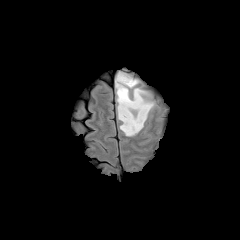
FLAIR magnetic resonance.
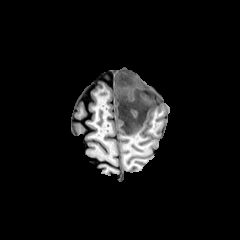
T1-weighted MR.
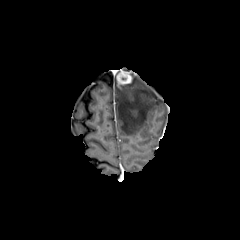
Post-contrast T1-weighted MRI.
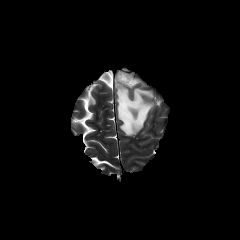
T2-weighted MRI.
Axial plane
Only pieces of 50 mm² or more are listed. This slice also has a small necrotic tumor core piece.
The peritumoral edema is located at l=115, t=76, r=154, b=136. The enhancing tumor is bounded by l=117, t=71, r=131, b=89.